FLAIR MR image.
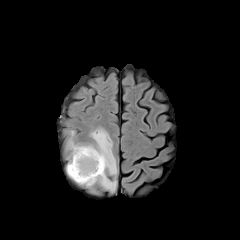
T1-weighted MRI.
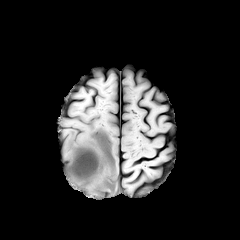
Post-contrast T1-weighted magnetic resonance.
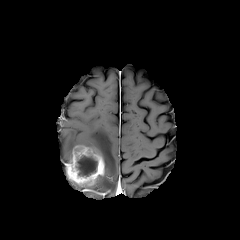
T2-weighted MR.
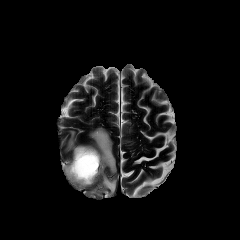
Axial slice | 240x240 px
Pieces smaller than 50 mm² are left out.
enhancing tumor = bbox=[66, 145, 104, 186]
necrotic tumor core = bbox=[76, 156, 97, 176]
peritumoral edema = bbox=[66, 127, 117, 192]